Head
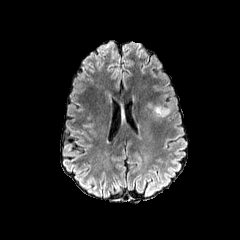
FLAIR MR.
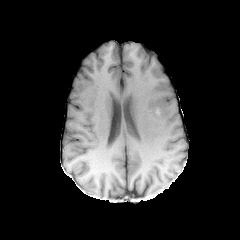
T1-weighted MRI.
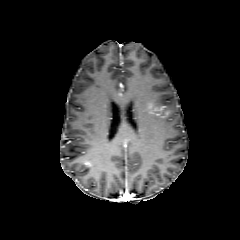
Same slice, post-contrast T1-weighted MR image.
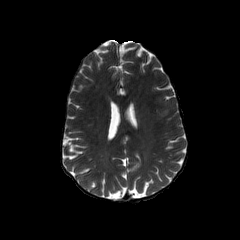
T2-weighted MRI of the same slice.
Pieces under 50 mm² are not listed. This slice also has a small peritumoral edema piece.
enhancing tumor: (154,106,170,118)